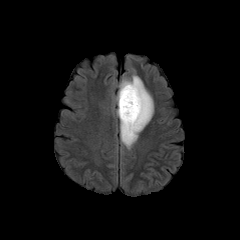
FLAIR MR image.
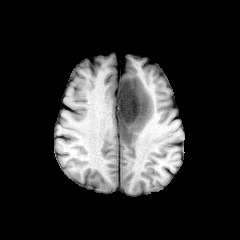
T1-weighted MR of the same slice.
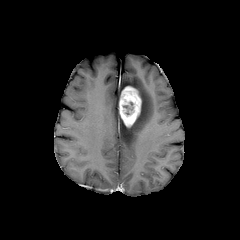
Same slice, post-contrast T1-weighted magnetic resonance.
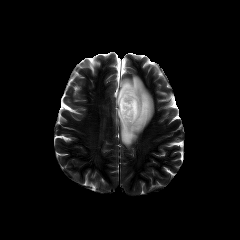
Same slice, T2-weighted magnetic resonance.
Image size 240x240; Brain
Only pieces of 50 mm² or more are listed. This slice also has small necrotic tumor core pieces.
• peritumoral edema: {"x1": 116, "y1": 74, "x2": 154, "y2": 149}
• enhancing tumor: {"x1": 119, "y1": 86, "x2": 141, "y2": 127}